240x240 px; Brain
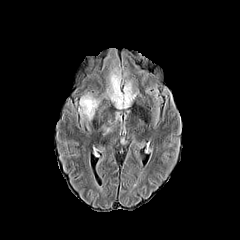
FLAIR MRI.
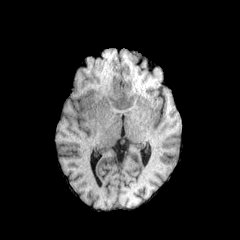
T1-weighted MR of the same slice.
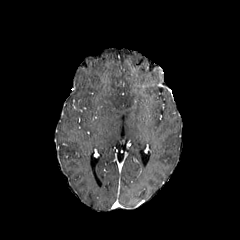
Post-contrast T1-weighted MR of the same slice.
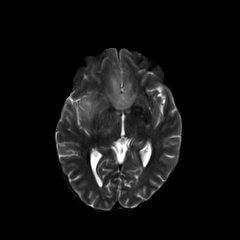
T2-weighted MRI.
Annotated regions:
• peritumoral edema: [110,74,138,108], [80,96,98,119]